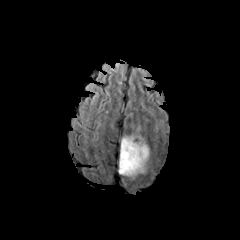
FLAIR magnetic resonance.
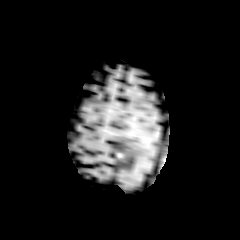
T1-weighted MRI.
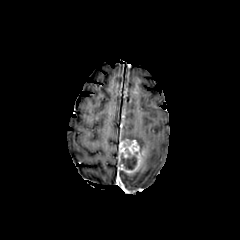
Post-contrast T1-weighted MR.
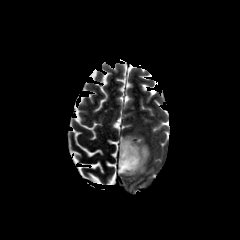
T2-weighted MRI.
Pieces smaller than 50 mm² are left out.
enhancing tumor — 118, 139, 148, 173
necrotic tumor core — 121, 153, 136, 169
peritumoral edema — 121, 136, 134, 140; 138, 142, 148, 152; 119, 156, 148, 177